FLAIR MR.
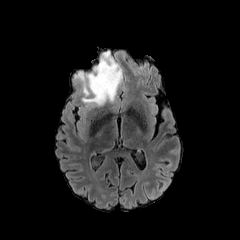
T1-weighted MR image.
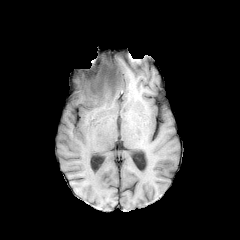
Post-contrast T1-weighted MR.
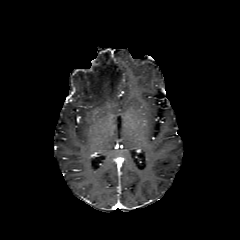
T2-weighted MR image.
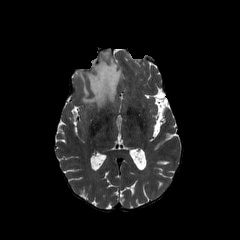
240x240 px
The peritumoral edema is located at (x1=75, y1=50, x2=122, y2=106).